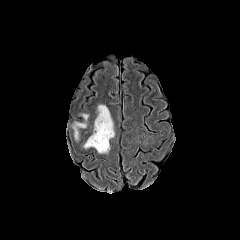
FLAIR MRI.
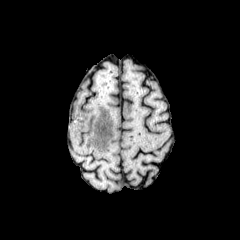
T1-weighted MR image of the same slice.
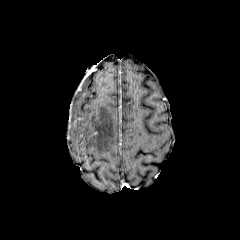
Post-contrast T1-weighted MRI.
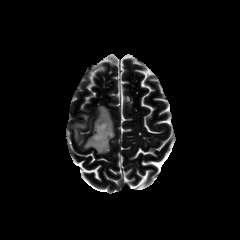
T2-weighted MRI.
Axial plane. Brain.
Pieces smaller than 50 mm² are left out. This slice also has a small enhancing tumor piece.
The 2 largest peritumoral edema regions are bounded by bbox=[73, 122, 86, 139]; bbox=[83, 105, 114, 153].